Slice 109 of 155. Image covers 240 mm x 240 mm.
FLAIR MRI.
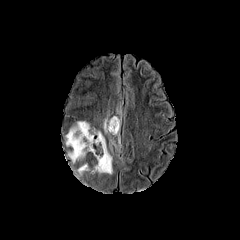
T1-weighted MR image.
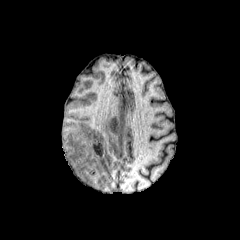
Post-contrast T1-weighted MR.
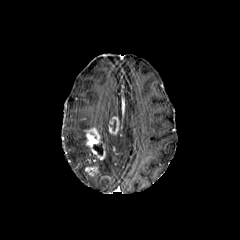
T2-weighted MR.
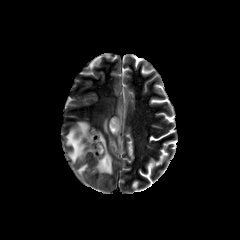
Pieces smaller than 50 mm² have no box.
The largest necrotic tumor core region is bounded by rect(93, 144, 102, 155). The 4 largest peritumoral edema regions are located at rect(66, 121, 90, 163); rect(76, 163, 87, 176); rect(103, 117, 109, 133); rect(96, 130, 112, 174). 3 enhancing tumor regions appear at rect(108, 116, 119, 134); rect(85, 165, 98, 175); rect(85, 128, 105, 160).